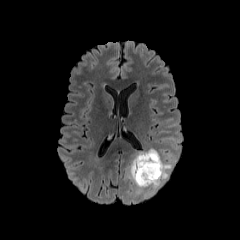
FLAIR MR.
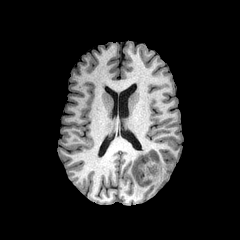
T1-weighted MR of the same slice.
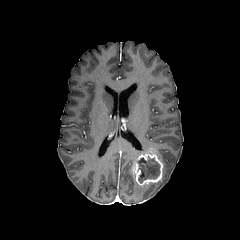
Post-contrast T1-weighted magnetic resonance.
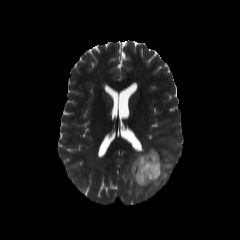
T2-weighted MR.
Axial plane.
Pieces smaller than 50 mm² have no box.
The peritumoral edema is at <bbox>125, 148, 177, 197</bbox>. The largest enhancing tumor region lies within <bbox>132, 151, 163, 185</bbox>. The necrotic tumor core is located at <bbox>138, 156, 159, 182</bbox>.